Slice index 78 | Brain | 240x240
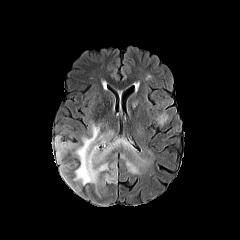
FLAIR MR.
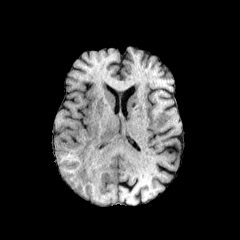
T1-weighted MR.
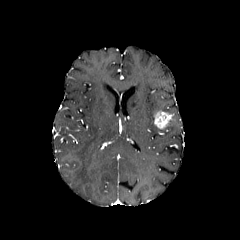
Post-contrast T1-weighted magnetic resonance.
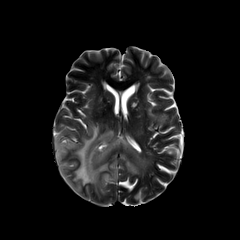
T2-weighted MR.
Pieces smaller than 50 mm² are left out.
<segmentation>
  <enhancing_tumor>box=[154, 112, 171, 128]</enhancing_tumor>
  <peritumoral_edema>box=[55, 123, 146, 191]; box=[104, 164, 117, 182]</peritumoral_edema>
</segmentation>